Head; Axial view; Image size 240x240
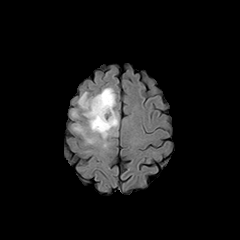
FLAIR MR image.
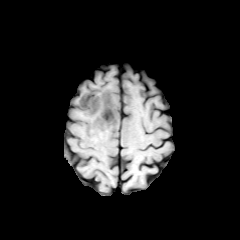
T1-weighted MRI.
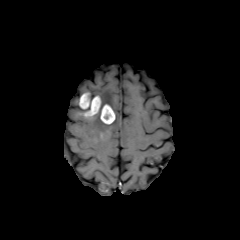
Post-contrast T1-weighted MR image.
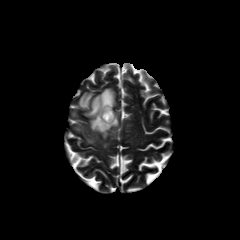
T2-weighted MR image of the same slice.
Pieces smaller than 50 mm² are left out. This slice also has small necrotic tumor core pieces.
<segmentation>
  <enhancing_tumor><bbox>79, 92, 115, 124</bbox></enhancing_tumor>
  <peritumoral_edema><bbox>96, 87, 116, 109</bbox>, <bbox>73, 110, 118, 148</bbox></peritumoral_edema>
</segmentation>